Head
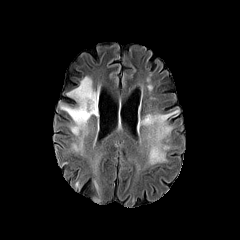
FLAIR magnetic resonance.
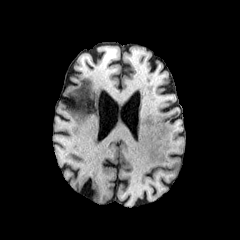
T1-weighted MRI.
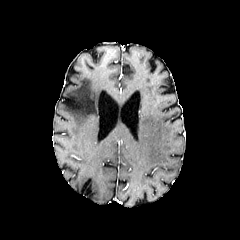
Post-contrast T1-weighted MR image.
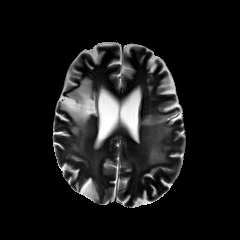
T2-weighted MR image of the same slice.
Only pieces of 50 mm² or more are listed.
The 4 largest peritumoral edema regions appear at bbox=[93, 180, 99, 195]; bbox=[75, 180, 82, 189]; bbox=[140, 110, 178, 164]; bbox=[59, 75, 99, 152].